Brain
FLAIR MRI.
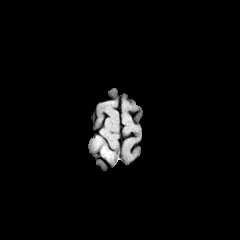
T1-weighted magnetic resonance.
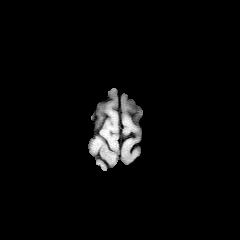
Post-contrast T1-weighted MRI.
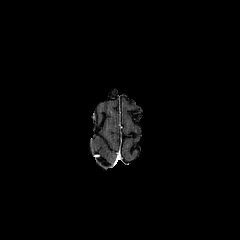
T2-weighted magnetic resonance.
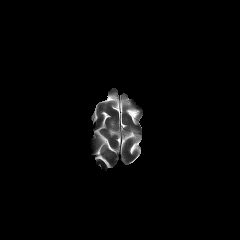
The peritumoral edema lies within left=88, top=137, right=114, bottom=164.